FLAIR MR image.
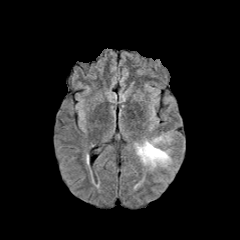
T1-weighted MR image.
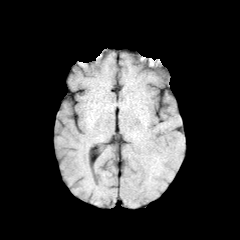
Post-contrast T1-weighted MRI.
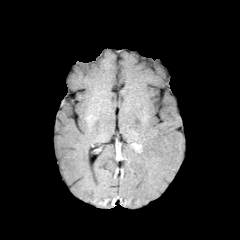
T2-weighted MR.
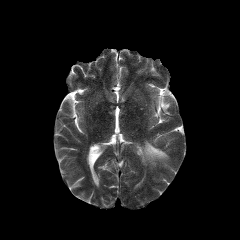
Axial plane. 240x240. Brain.
peritumoral_edema:
  - bbox(137, 134, 170, 167)